Head. Slice 91 of 155.
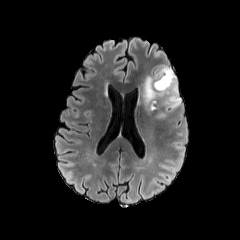
FLAIR MR.
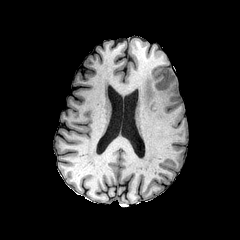
T1-weighted MR.
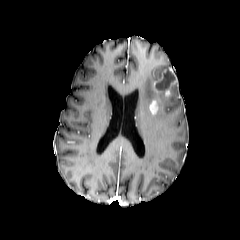
Post-contrast T1-weighted MRI.
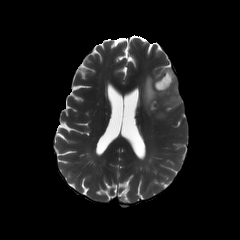
Same slice, T2-weighted magnetic resonance.
necrotic tumor core at x1=156, y1=71, x2=173, y2=89
enhancing tumor at x1=149, y1=100, x2=157, y2=112; x1=153, y1=68, x2=176, y2=96
peritumoral edema at x1=139, y1=65, x2=181, y2=119